Slice 116/155, Axial plane, Head
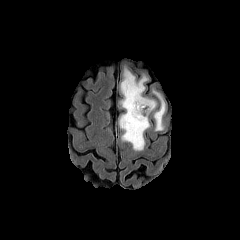
FLAIR MR.
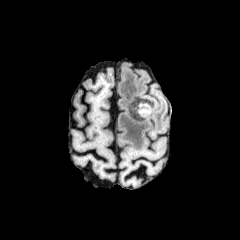
T1-weighted MRI.
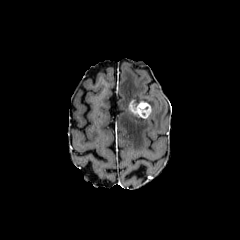
Post-contrast T1-weighted MRI of the same slice.
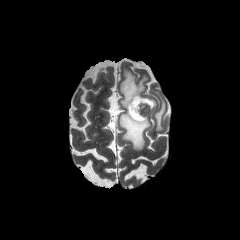
T2-weighted MR image.
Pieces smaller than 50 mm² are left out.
The largest enhancing tumor region lies within x1=128, y1=99, x2=149, y2=118. The largest necrotic tumor core region is bounded by x1=138, y1=104, x2=151, y2=116. 2 peritumoral edema regions appear at x1=154, y1=92, x2=165, y2=130; x1=119, y1=69, x2=156, y2=150.